FLAIR MRI.
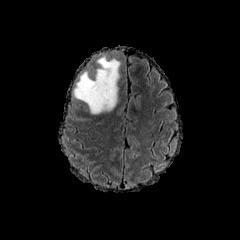
T1-weighted magnetic resonance.
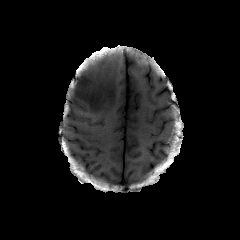
Post-contrast T1-weighted magnetic resonance.
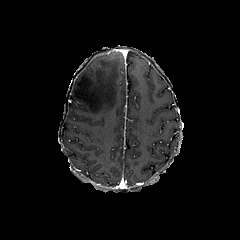
T2-weighted MR image.
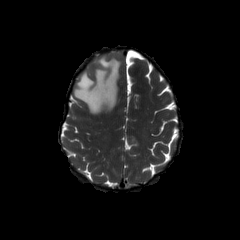
Axial view; Brain
Annotated regions:
• peritumoral edema: x1=73 y1=56 x2=120 y2=114